FLAIR MR.
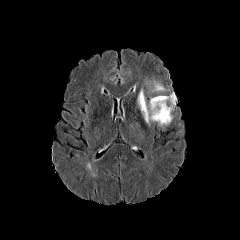
T1-weighted MR image.
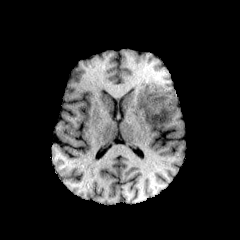
Post-contrast T1-weighted magnetic resonance.
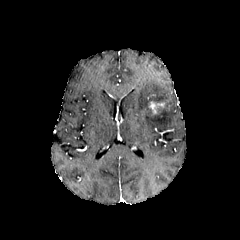
T2-weighted MR image.
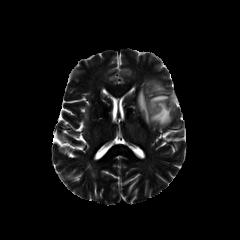
Brain
enhancing tumor: [x1=148, y1=101, x2=165, y2=114] | peritumoral edema: [x1=137, y1=80, x2=176, y2=126]